Image width 240 mm, 1.00 mm slice spacing; Head; Axial slice
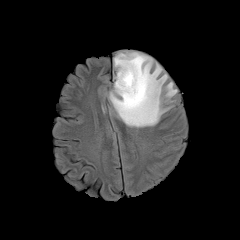
FLAIR MRI.
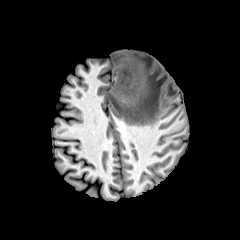
Same slice, T1-weighted magnetic resonance.
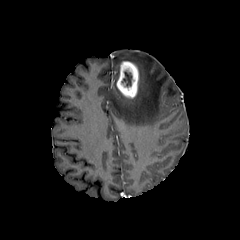
Same slice, post-contrast T1-weighted MR.
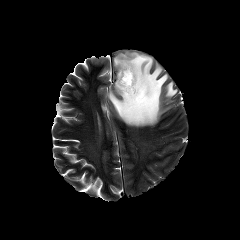
T2-weighted MRI.
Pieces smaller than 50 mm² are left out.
peritumoral_edema:
  - (x1=108, y1=51, x2=177, y2=127)
enhancing_tumor:
  - (x1=116, y1=61, x2=138, y2=98)
necrotic_tumor_core:
  - (x1=122, y1=71, x2=131, y2=86)